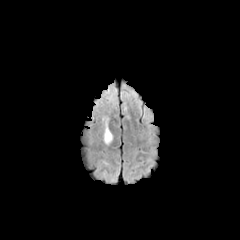
FLAIR MR.
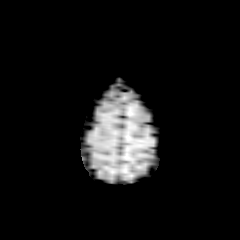
T1-weighted MR image.
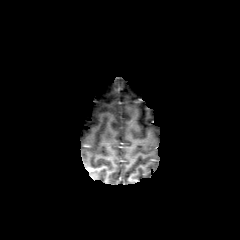
Post-contrast T1-weighted MR.
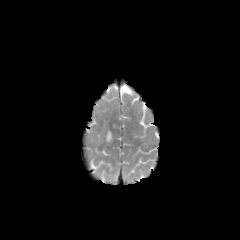
Same slice, T2-weighted MR.
Brain
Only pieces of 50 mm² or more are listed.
The largest peritumoral edema region is located at left=104, top=119, right=112, bottom=144.